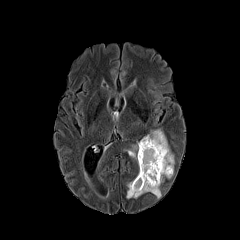
FLAIR MR image.
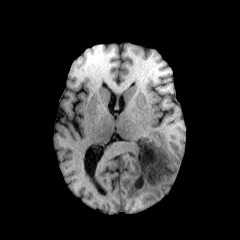
Same slice, T1-weighted MR image.
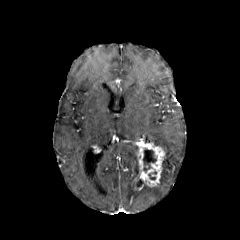
Post-contrast T1-weighted MRI.
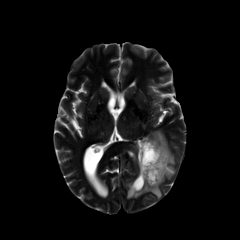
T2-weighted MR image of the same slice.
Axial view; 240x240
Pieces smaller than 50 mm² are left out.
{"peritumoral_edema": ["<bbox>126, 129, 174, 198</bbox>", "<bbox>128, 144, 138, 161</bbox>"], "enhancing_tumor": ["<bbox>132, 139, 165, 190</bbox>"], "necrotic_tumor_core": ["<bbox>143, 149, 156, 171</bbox>"]}